FLAIR MR.
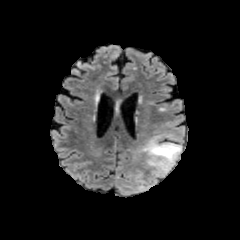
T1-weighted MR image.
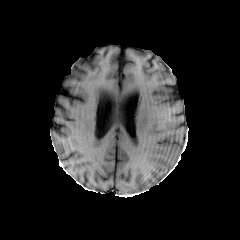
Post-contrast T1-weighted MR image.
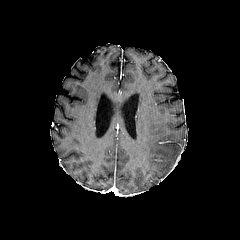
T2-weighted MR image.
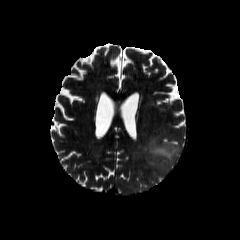
The peritumoral edema is located at (x1=142, y1=135, x2=181, y2=174).